240x240 px, Slice 118/155, Axial plane
FLAIR magnetic resonance.
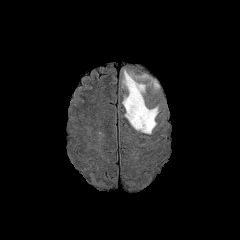
T1-weighted MR image.
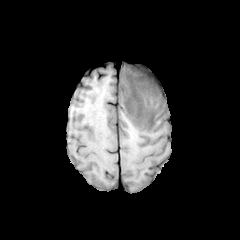
Post-contrast T1-weighted MRI.
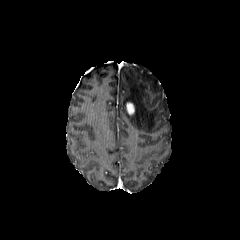
T2-weighted MR.
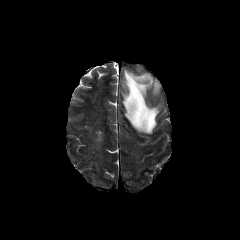
<segmentation>
  <enhancing_tumor>rect(126, 103, 134, 114)</enhancing_tumor>
  <peritumoral_edema>rect(122, 70, 159, 133)</peritumoral_edema>
</segmentation>